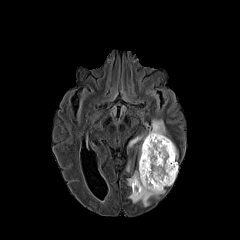
FLAIR MR.
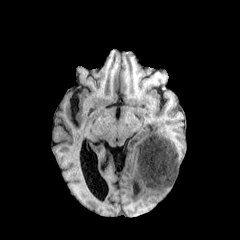
Same slice, T1-weighted magnetic resonance.
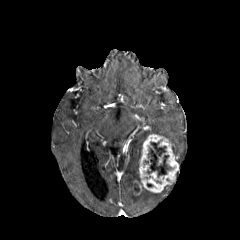
Post-contrast T1-weighted MR.
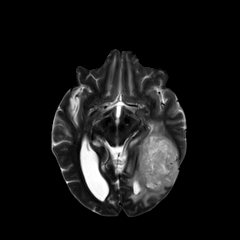
T2-weighted magnetic resonance.
Brain | Axial plane
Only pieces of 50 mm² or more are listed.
{"enhancing_tumor": ["x1=133, y1=134, x2=178, y2=195"], "necrotic_tumor_core": ["x1=147, y1=142, x2=171, y2=177"], "peritumoral_edema": ["x1=129, y1=119, x2=178, y2=157", "x1=127, y1=162, x2=165, y2=206"]}